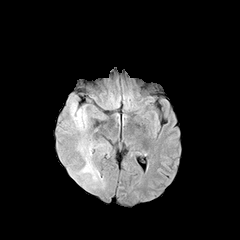
FLAIR magnetic resonance.
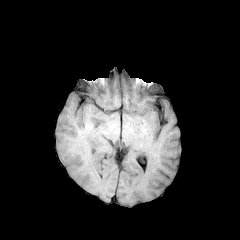
T1-weighted MR image of the same slice.
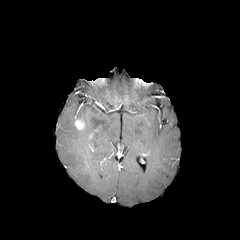
Post-contrast T1-weighted MR.
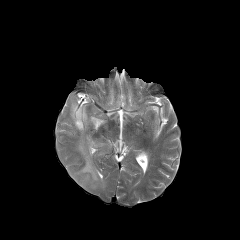
T2-weighted magnetic resonance.
Brain
enhancing tumor at (x1=75, y1=119, x2=84, y2=129)
peritumoral edema at (x1=69, y1=100, x2=105, y2=188)